FLAIR magnetic resonance.
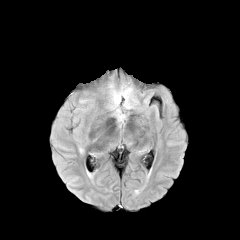
T1-weighted magnetic resonance.
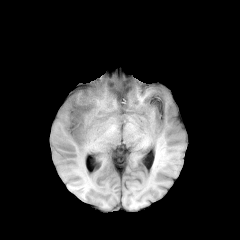
Post-contrast T1-weighted MR image.
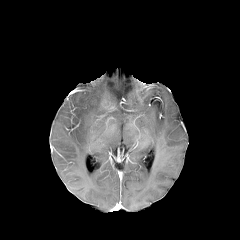
T2-weighted MRI.
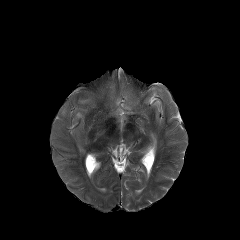
Brain. 240x240. Axial view.
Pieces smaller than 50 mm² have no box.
peritumoral edema: bbox=[110, 87, 129, 112]